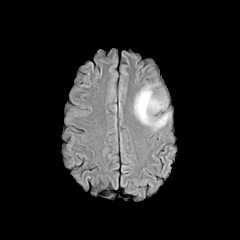
FLAIR MRI.
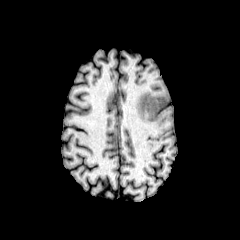
T1-weighted MR image.
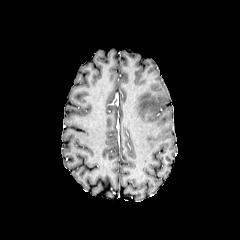
Post-contrast T1-weighted MR image.
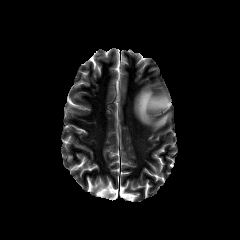
T2-weighted MR.
Brain | Image size 240x240
The peritumoral edema lies within bbox=[134, 85, 170, 129].